Axial slice; Head
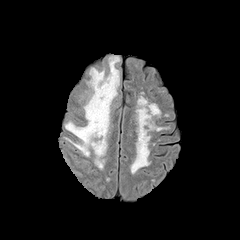
FLAIR MRI.
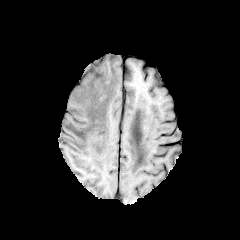
T1-weighted MR image.
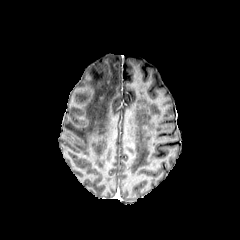
Post-contrast T1-weighted magnetic resonance of the same slice.
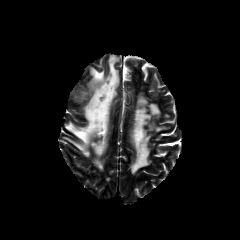
T2-weighted MR.
peritumoral_edema:
  - rect(65, 55, 119, 169)